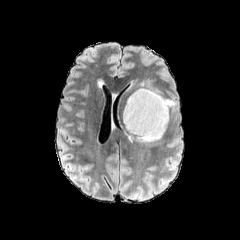
FLAIR MR image.
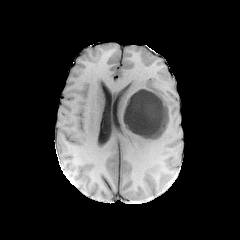
T1-weighted MRI.
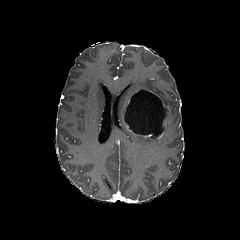
Post-contrast T1-weighted MRI.
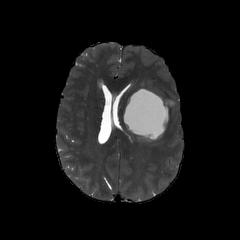
T2-weighted MRI of the same slice.
Brain
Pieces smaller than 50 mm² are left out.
Findings:
- enhancing tumor: <box>146,90,167,130</box>, <box>138,131,163,139</box>
- necrotic tumor core: <box>125,90,166,138</box>
- peritumoral edema: <box>163,100,173,106</box>, <box>137,135,153,141</box>